FLAIR MR image.
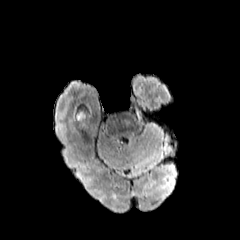
T1-weighted magnetic resonance.
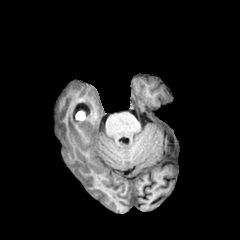
Post-contrast T1-weighted magnetic resonance.
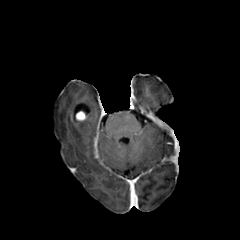
T2-weighted MR image.
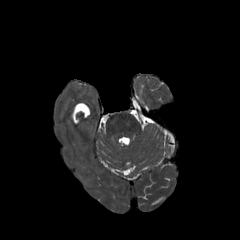
Axial slice, Brain
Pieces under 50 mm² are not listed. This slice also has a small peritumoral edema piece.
The enhancing tumor appears at <bbox>76, 111, 85, 120</bbox>.